FLAIR magnetic resonance.
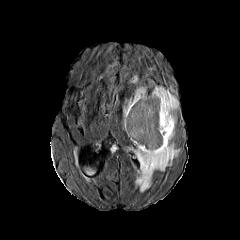
T1-weighted magnetic resonance.
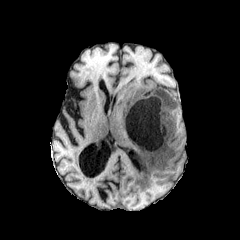
Post-contrast T1-weighted MRI.
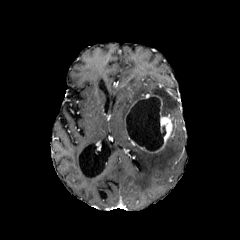
T2-weighted MR.
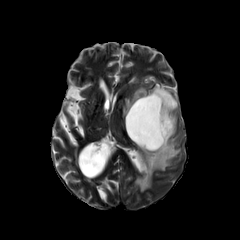
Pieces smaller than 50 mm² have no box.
Segmented structures:
* enhancing tumor: (x1=131, y1=94, x2=173, y2=153)
* peritumoral edema: (x1=134, y1=138, x2=179, y2=191), (x1=123, y1=87, x2=146, y2=118), (x1=152, y1=86, x2=178, y2=134)
* necrotic tumor core: (x1=126, y1=96, x2=166, y2=151)